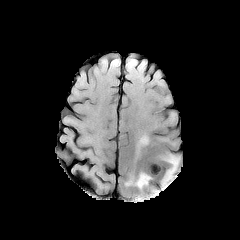
FLAIR MR.
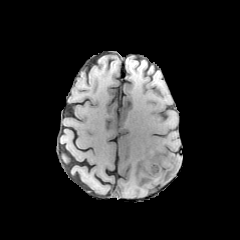
Same slice, T1-weighted magnetic resonance.
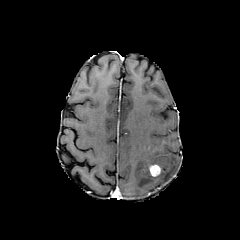
Same slice, post-contrast T1-weighted MRI.
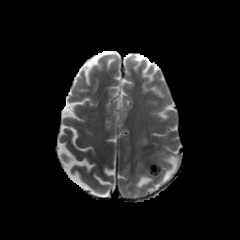
T2-weighted MRI.
Brain | Axial plane
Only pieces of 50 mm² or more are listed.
Findings:
* peritumoral edema: bbox(136, 135, 149, 154); bbox(149, 154, 179, 184); bbox(126, 157, 137, 179); bbox(135, 165, 151, 188)
* enhancing tumor: bbox(150, 166, 159, 175)